Axial plane. Image width 240 mm, 1.00 mm slice spacing.
FLAIR MR.
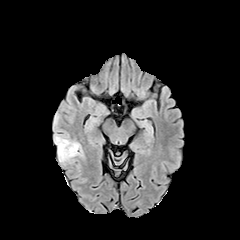
T1-weighted MR image.
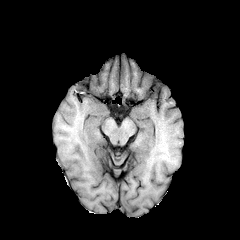
Post-contrast T1-weighted MR.
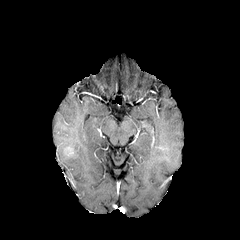
T2-weighted MR.
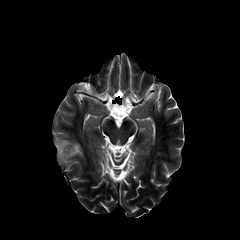
The enhancing tumor is at <bbox>65, 147, 73, 155</bbox>. The peritumoral edema lies within <bbox>55, 136, 81, 161</bbox>.